FLAIR MR.
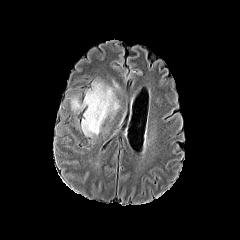
T1-weighted MR image.
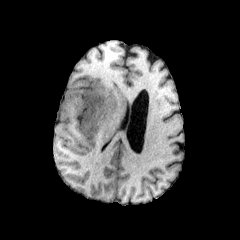
Post-contrast T1-weighted MR image.
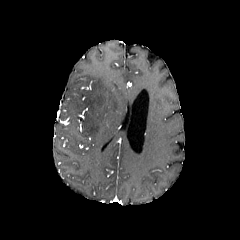
T2-weighted MRI.
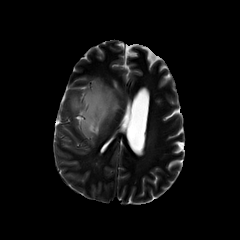
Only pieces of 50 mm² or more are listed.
Annotated regions:
• peritumoral edema: (71, 81, 119, 136)